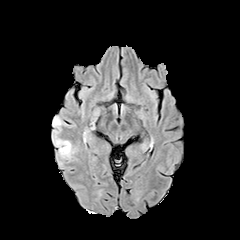
FLAIR MR.
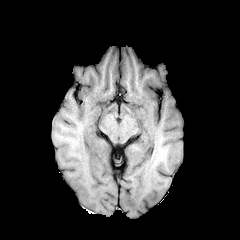
T1-weighted MRI.
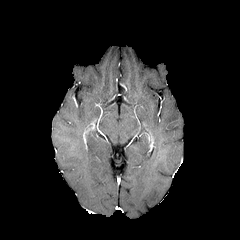
Post-contrast T1-weighted magnetic resonance.
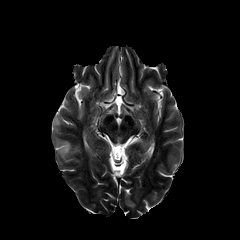
Same slice, T2-weighted MR image.
Brain, Axial plane
Findings:
• peritumoral edema: (55,138,76,158)